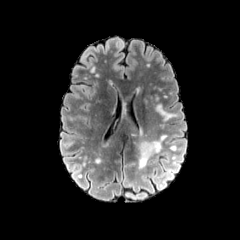
FLAIR MR image.
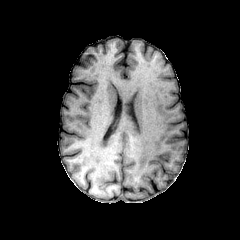
T1-weighted MRI.
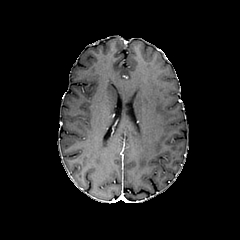
Post-contrast T1-weighted magnetic resonance.
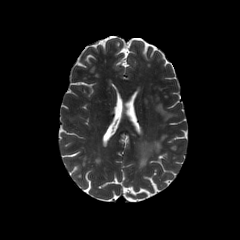
Same slice, T2-weighted MR.
Annotated regions:
• peritumoral edema: region(139, 136, 164, 169)